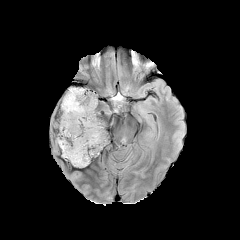
FLAIR MRI.
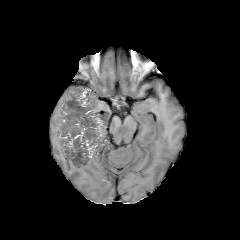
T1-weighted MRI.
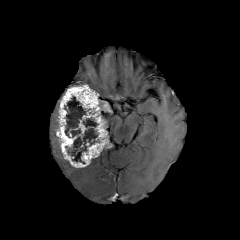
Same slice, post-contrast T1-weighted magnetic resonance.
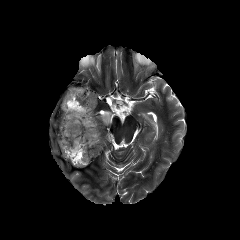
Same slice, T2-weighted MR.
Head, Image size 240x240
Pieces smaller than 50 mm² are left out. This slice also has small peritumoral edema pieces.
necrotic tumor core at rect(64, 96, 86, 137); rect(67, 117, 98, 163); rect(100, 111, 107, 120)
enhancing tumor at rect(57, 85, 111, 167)